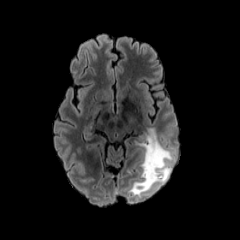
FLAIR MRI.
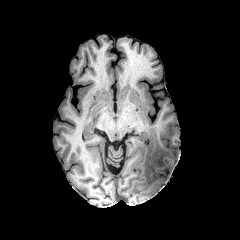
T1-weighted magnetic resonance.
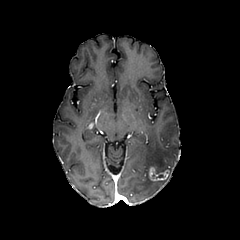
Post-contrast T1-weighted MR.
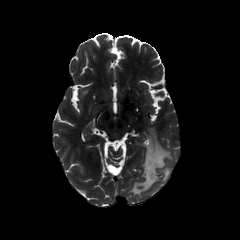
Same slice, T2-weighted magnetic resonance.
Image size 240x240. Head.
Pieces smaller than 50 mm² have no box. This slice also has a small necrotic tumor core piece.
Annotated regions:
* enhancing tumor: [148, 166, 169, 181]
* peritumoral edema: [129, 127, 174, 196]